FLAIR MR.
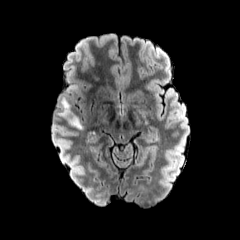
T1-weighted MRI.
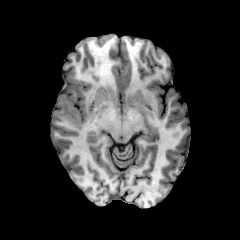
Post-contrast T1-weighted magnetic resonance.
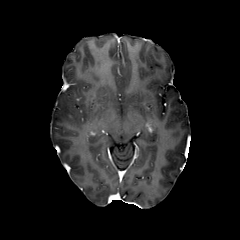
T2-weighted magnetic resonance.
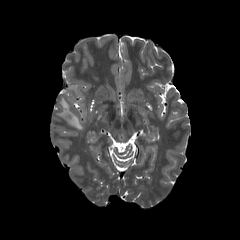
Axial view. Head. Image size 240x240.
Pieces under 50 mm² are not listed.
The largest peritumoral edema region appears at bbox(59, 98, 82, 129).